FLAIR magnetic resonance.
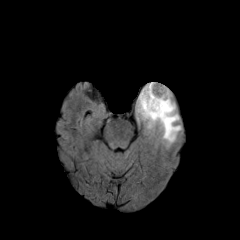
T1-weighted MR image.
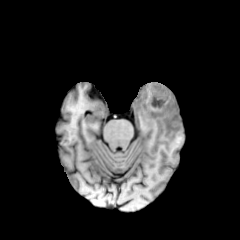
Post-contrast T1-weighted MR image.
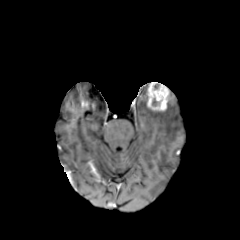
T2-weighted MRI.
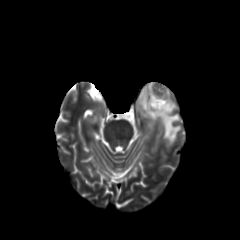
240x240 px; Brain
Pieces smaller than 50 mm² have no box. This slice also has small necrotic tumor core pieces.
The peritumoral edema appears at <bbox>136, 83, 180, 141</bbox>. The enhancing tumor is bounded by <bbox>147, 82, 169, 110</bbox>.